240x240; Head; Axial view
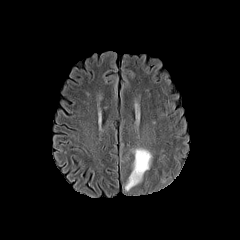
FLAIR magnetic resonance.
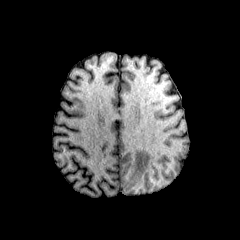
Same slice, T1-weighted MR image.
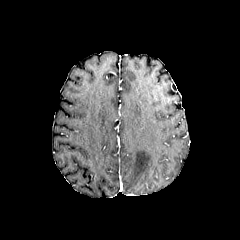
Post-contrast T1-weighted MR image.
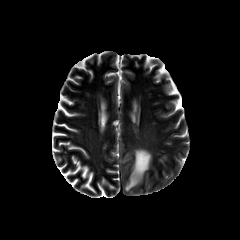
T2-weighted MRI.
peritumoral edema: bounding box (125,148,151,191)